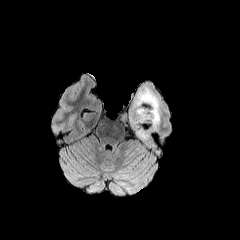
FLAIR magnetic resonance.
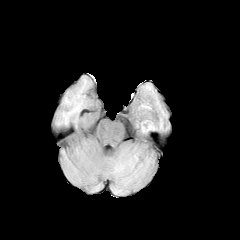
T1-weighted MRI.
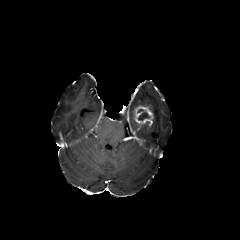
Post-contrast T1-weighted magnetic resonance of the same slice.
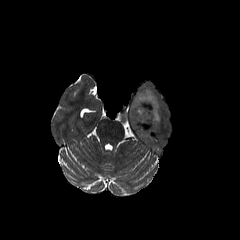
T2-weighted MR image.
Brain
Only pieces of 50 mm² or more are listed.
{
  "enhancing_tumor": [
    "bbox(132, 105, 154, 126)"
  ],
  "necrotic_tumor_core": [
    "bbox(138, 112, 149, 120)"
  ],
  "peritumoral_edema": [
    "bbox(131, 87, 160, 129)",
    "bbox(137, 129, 148, 139)"
  ]
}